Image width 240 mm, Slice 68/155, Axial view
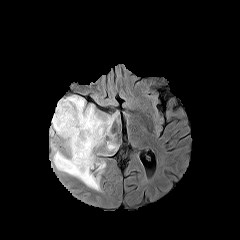
FLAIR MR image.
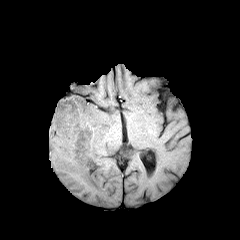
T1-weighted MRI of the same slice.
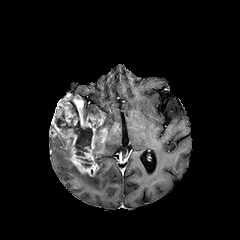
Same slice, post-contrast T1-weighted magnetic resonance.
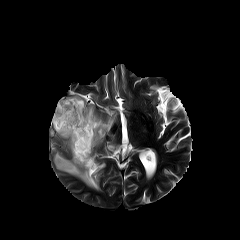
T2-weighted MRI.
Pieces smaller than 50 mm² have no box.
Annotated regions:
- necrotic tumor core: 79 158 91 167, 55 99 92 156
- enhancing tumor: 50 94 107 176
- peritumoral edema: 52 135 70 156, 51 142 105 190, 96 114 118 151, 83 101 100 119